FLAIR MR.
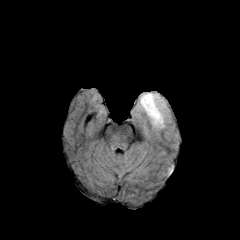
T1-weighted MR.
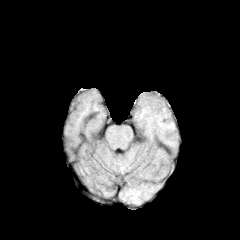
Post-contrast T1-weighted MRI.
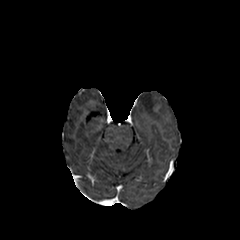
T2-weighted MR image.
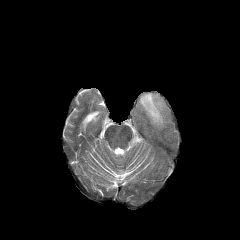
240x240 px
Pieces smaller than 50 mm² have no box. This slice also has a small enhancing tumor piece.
peritumoral edema = <box>140,93,164,126</box>